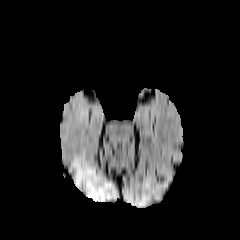
FLAIR magnetic resonance.
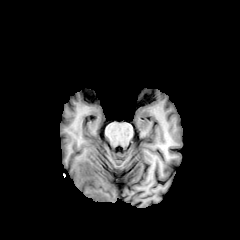
T1-weighted MRI.
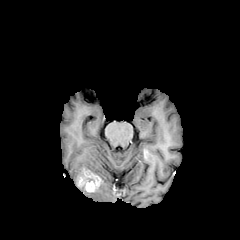
Post-contrast T1-weighted MR.
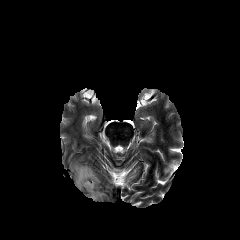
T2-weighted MRI of the same slice.
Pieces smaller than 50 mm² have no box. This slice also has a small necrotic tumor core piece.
peritumoral edema: (87, 183, 113, 201), (73, 160, 98, 185) | enhancing tumor: (77, 168, 100, 192)